FLAIR MRI.
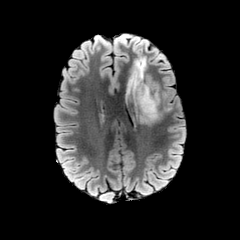
T1-weighted MRI.
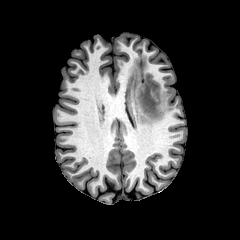
Post-contrast T1-weighted MRI.
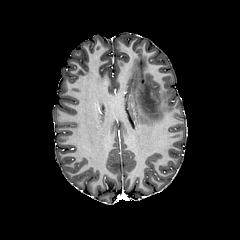
T2-weighted MR.
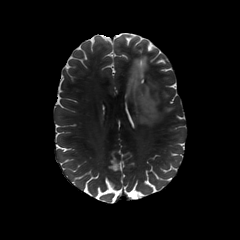
Axial plane. Head. 240x240 px.
peritumoral_edema:
  - [126,58,161,124]